FLAIR magnetic resonance.
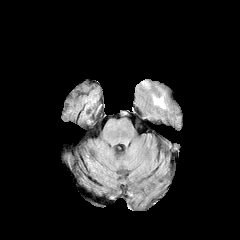
T1-weighted magnetic resonance.
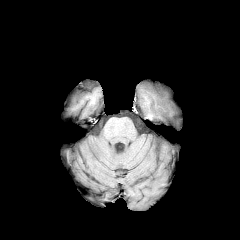
Post-contrast T1-weighted MR image.
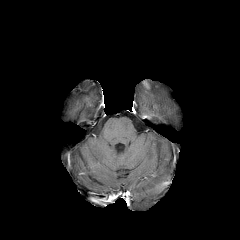
T2-weighted magnetic resonance.
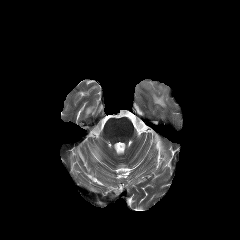
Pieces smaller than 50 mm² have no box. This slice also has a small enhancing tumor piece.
• peritumoral edema: box(152, 94, 166, 108)